FLAIR MR image.
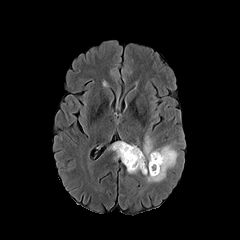
T1-weighted magnetic resonance.
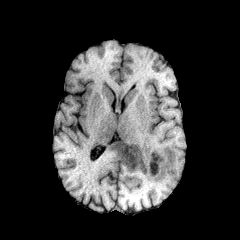
Post-contrast T1-weighted magnetic resonance.
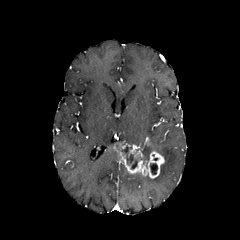
T2-weighted MR.
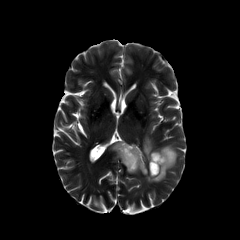
240x240 | Head
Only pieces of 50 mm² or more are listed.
The 2 largest necrotic tumor core regions are located at (150, 163, 157, 174), (122, 146, 133, 164). The largest peritumoral edema region lies within (142, 139, 177, 182). The largest enhancing tumor region lies within (113, 142, 164, 178).